FLAIR MR.
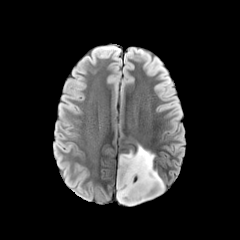
T1-weighted MR.
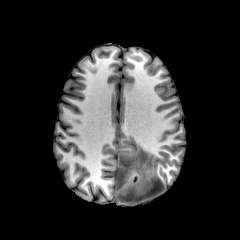
Post-contrast T1-weighted MR.
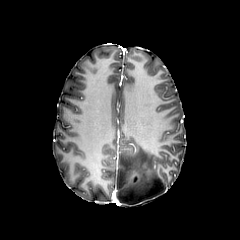
T2-weighted magnetic resonance.
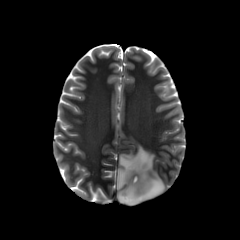
Axial plane
peritumoral_edema:
  - bbox(116, 145, 164, 205)